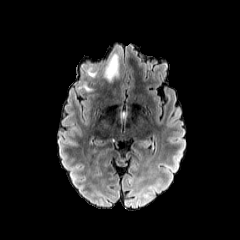
FLAIR MRI.
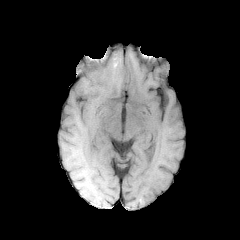
T1-weighted MRI of the same slice.
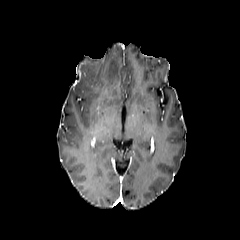
Post-contrast T1-weighted MR.
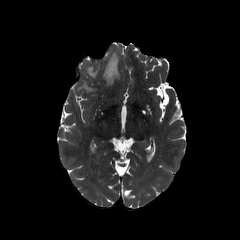
T2-weighted MR.
Image size 240x240, Head
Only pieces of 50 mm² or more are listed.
peritumoral edema: x1=88 y1=68 x2=96 y2=76, x1=103 y1=54 x2=119 y2=82